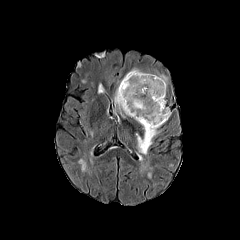
FLAIR MR image.
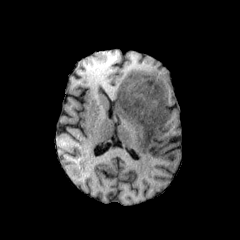
T1-weighted MR image.
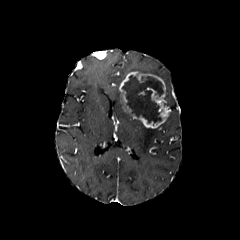
Post-contrast T1-weighted MR.
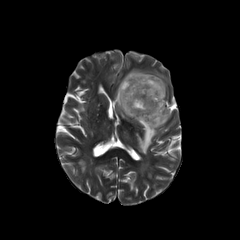
Same slice, T2-weighted MRI.
Image size 240x240; Head
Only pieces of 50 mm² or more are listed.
enhancing_tumor:
  - bbox(119, 71, 170, 128)
necrotic_tumor_core:
  - bbox(122, 75, 163, 123)
peritumoral_edema:
  - bbox(114, 86, 130, 117)
  - bbox(136, 121, 158, 154)
  - bbox(154, 72, 167, 87)